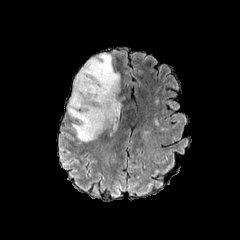
FLAIR MRI.
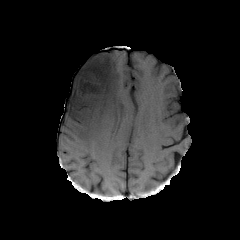
T1-weighted MRI.
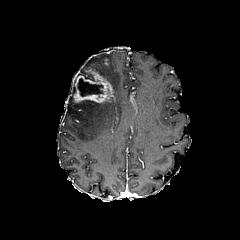
Same slice, post-contrast T1-weighted magnetic resonance.
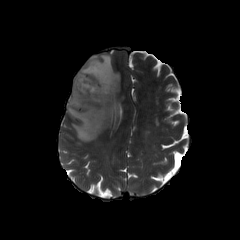
T2-weighted MR image.
240x240 px | Head | Axial plane
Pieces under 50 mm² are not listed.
peritumoral edema: rect(67, 53, 124, 141) | enhancing tumor: rect(72, 67, 114, 104) | necrotic tumor core: rect(77, 78, 103, 96)